Slice 56 of 155
FLAIR magnetic resonance.
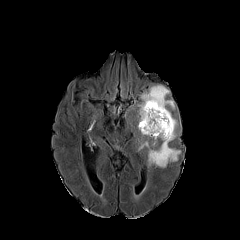
T1-weighted MR image.
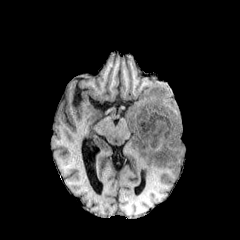
Post-contrast T1-weighted MR.
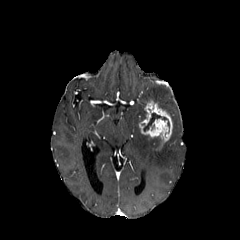
T2-weighted MR image.
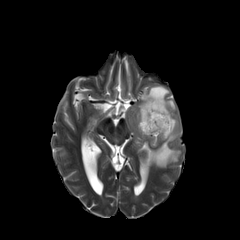
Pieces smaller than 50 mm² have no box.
Segmented structures:
• peritumoral edema: bbox=[137, 85, 180, 167]
• necrotic tumor core: bbox=[143, 113, 167, 131]
• enhancing tumor: bbox=[139, 101, 172, 145]